FLAIR MR.
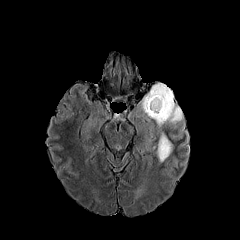
T1-weighted MRI.
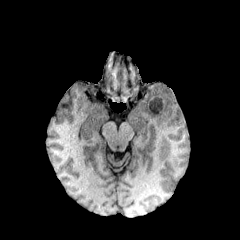
Post-contrast T1-weighted magnetic resonance.
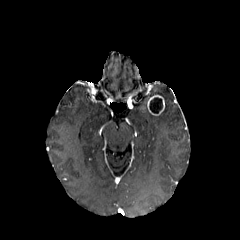
T2-weighted magnetic resonance.
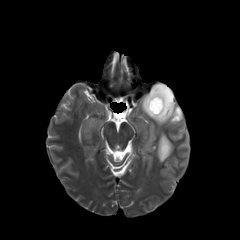
240x240 | Axial view | Brain
{"necrotic_tumor_core": ["[149,97,162,113]"], "peritumoral_edema": ["[157,132,172,162]", "[141,83,182,126]"], "enhancing_tumor": ["[147,95,164,115]"]}